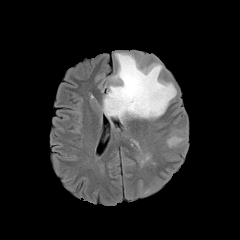
FLAIR magnetic resonance.
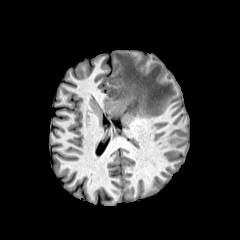
T1-weighted MR of the same slice.
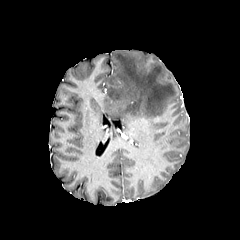
Same slice, post-contrast T1-weighted magnetic resonance.
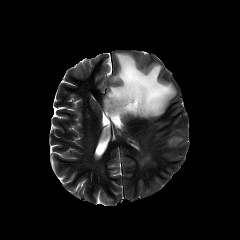
T2-weighted MR.
Axial slice
2 peritumoral edema regions are located at bbox(103, 53, 176, 120); bbox(166, 136, 187, 148).